Head, Image width 240 mm, Axial slice
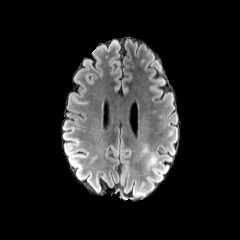
FLAIR MR image.
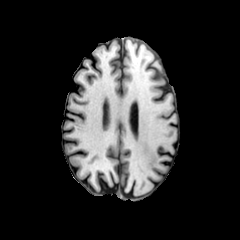
Same slice, T1-weighted magnetic resonance.
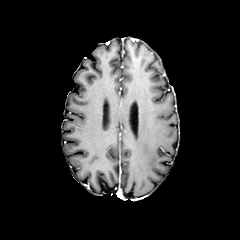
Same slice, post-contrast T1-weighted MR.
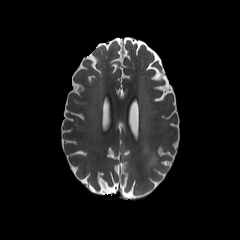
Same slice, T2-weighted MRI.
<segmentation>
  <peritumoral_edema>141, 142, 157, 168</peritumoral_edema>
</segmentation>